Axial slice | Head
FLAIR MR image.
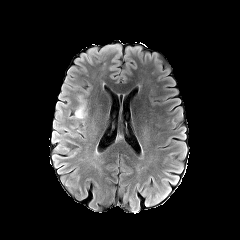
T1-weighted MRI.
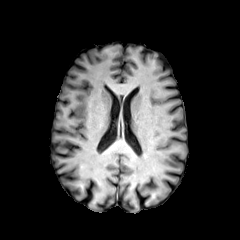
Post-contrast T1-weighted MR.
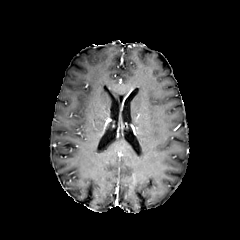
T2-weighted MRI.
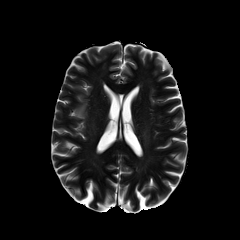
The peritumoral edema is bounded by (left=74, top=95, right=87, bottom=124).